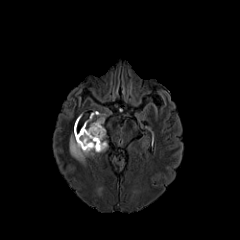
FLAIR MR.
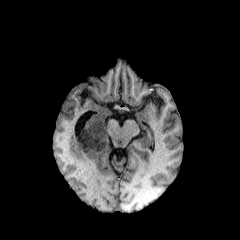
T1-weighted MR image.
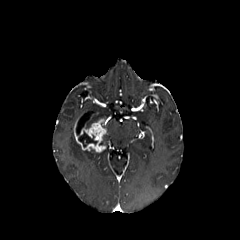
Post-contrast T1-weighted magnetic resonance.
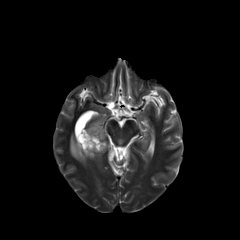
T2-weighted magnetic resonance of the same slice.
Brain, 240x240 px
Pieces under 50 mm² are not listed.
{"peritumoral_edema": ["(86,112,106,128)", "(69,134,99,164)"], "enhancing_tumor": ["(74,118,106,152)"], "necrotic_tumor_core": ["(78,131,97,147)"]}